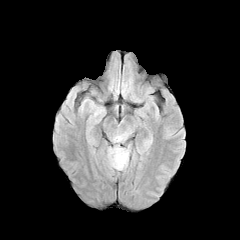
FLAIR MRI.
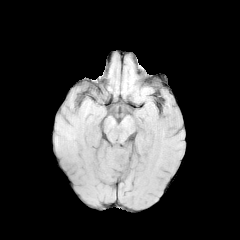
T1-weighted MR.
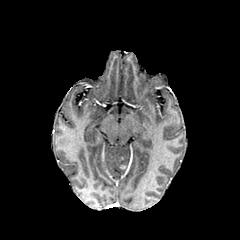
Post-contrast T1-weighted MR.
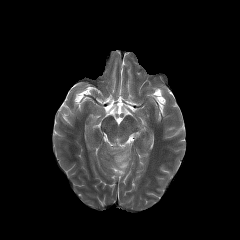
Same slice, T2-weighted MR.
Axial plane. Brain.
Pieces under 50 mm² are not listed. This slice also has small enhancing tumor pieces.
peritumoral edema: <box>113,133,127,142</box>, <box>107,146,129,171</box>